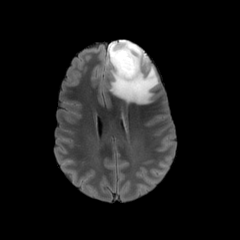
FLAIR MR image.
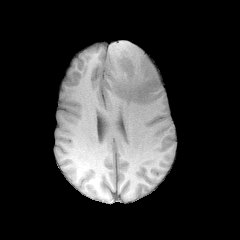
T1-weighted MR image of the same slice.
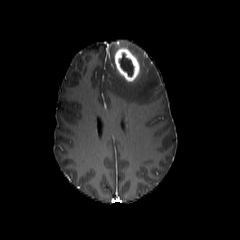
Post-contrast T1-weighted MR image of the same slice.
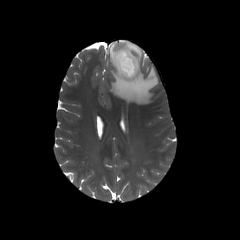
T2-weighted MRI of the same slice.
Head
necrotic_tumor_core:
  - bbox=[119, 53, 133, 76]
peritumoral_edema:
  - bbox=[105, 40, 158, 104]
enhancing_tumor:
  - bbox=[114, 46, 140, 83]